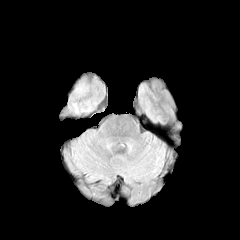
FLAIR MRI.
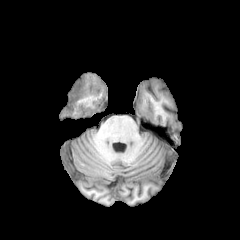
T1-weighted magnetic resonance of the same slice.
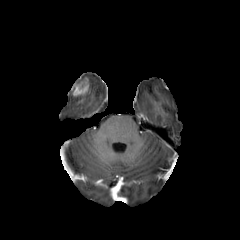
Same slice, post-contrast T1-weighted magnetic resonance.
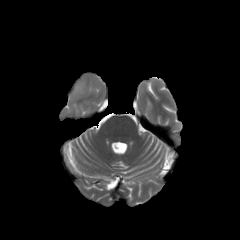
Same slice, T2-weighted MR.
Axial view | Head
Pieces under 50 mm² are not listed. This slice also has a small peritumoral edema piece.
<segmentation>
  <enhancing_tumor>73,77,88,95</enhancing_tumor>
</segmentation>